Head | 240x240 px
FLAIR MR image.
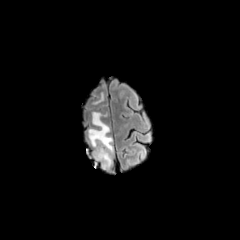
T1-weighted MR.
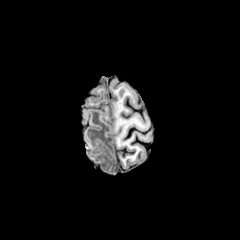
Post-contrast T1-weighted MR image.
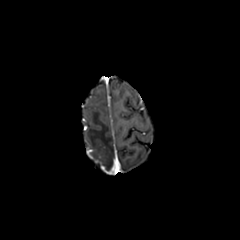
T2-weighted MRI.
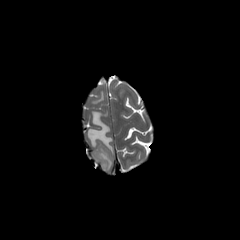
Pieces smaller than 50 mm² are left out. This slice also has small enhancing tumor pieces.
peritumoral edema: (92,93,104,104), (87,111,113,170)